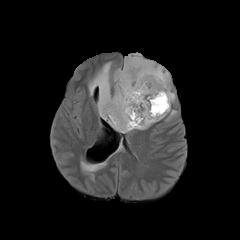
FLAIR magnetic resonance.
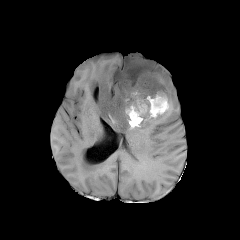
Same slice, T1-weighted MR image.
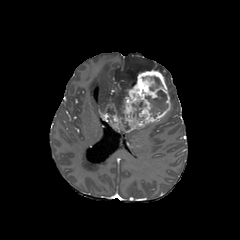
Same slice, post-contrast T1-weighted magnetic resonance.
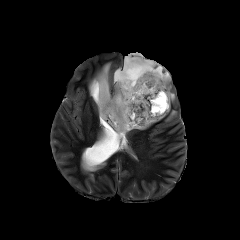
T2-weighted MR image.
Head | 240x240 | Axial view
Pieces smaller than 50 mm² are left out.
peritumoral edema: [89, 54, 175, 112], [167, 110, 176, 120] | enhancing tumor: [99, 69, 170, 132] | necrotic tumor core: [145, 90, 167, 117], [132, 102, 145, 118]